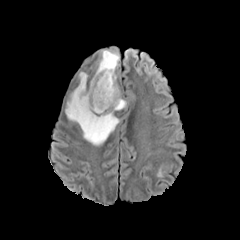
FLAIR MR image.
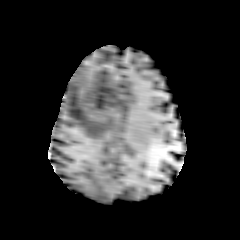
T1-weighted MRI.
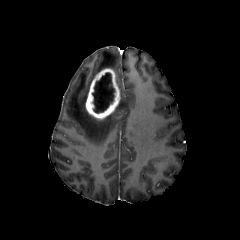
Post-contrast T1-weighted MR of the same slice.
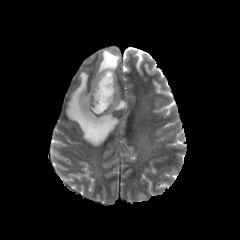
T2-weighted MR of the same slice.
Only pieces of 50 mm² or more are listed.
• necrotic tumor core: box=[92, 73, 114, 113]
• peritumoral edema: box=[115, 99, 126, 110]; box=[66, 72, 119, 145]; box=[96, 49, 119, 73]
• enhancing tumor: box=[85, 68, 120, 119]